FLAIR MR.
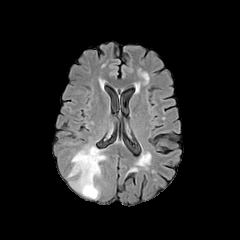
T1-weighted MR image.
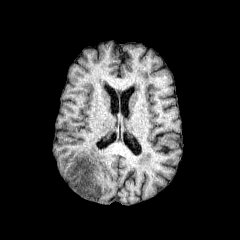
Post-contrast T1-weighted magnetic resonance.
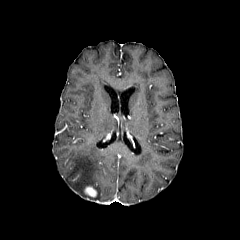
T2-weighted MR image.
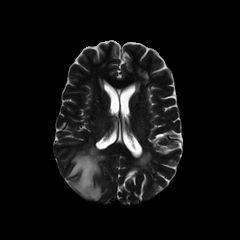
Brain.
enhancing_tumor:
  - [84, 186, 96, 197]
peritumoral_edema:
  - [67, 145, 105, 199]